Axial plane; Slice 91/155
FLAIR MRI.
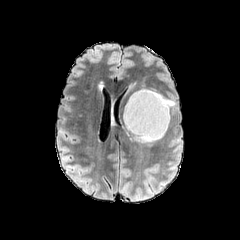
T1-weighted MR image.
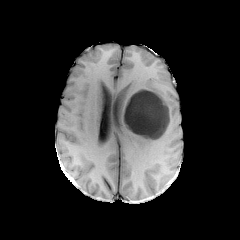
Post-contrast T1-weighted MR.
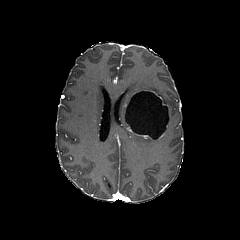
T2-weighted MR.
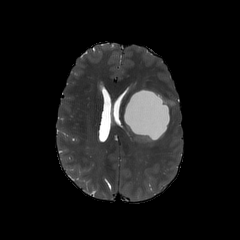
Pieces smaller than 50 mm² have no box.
Segmented structures:
- necrotic tumor core: [125, 91, 168, 139]
- enhancing tumor: [125, 122, 164, 140], [131, 89, 168, 106]
- peritumoral edema: [162, 97, 174, 105], [135, 135, 152, 142]